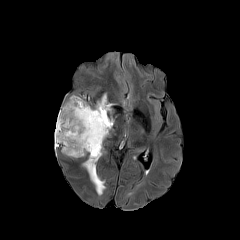
FLAIR magnetic resonance.
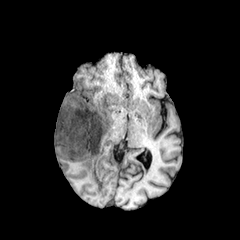
Same slice, T1-weighted MRI.
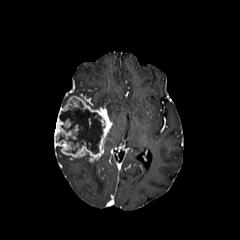
Post-contrast T1-weighted MRI of the same slice.
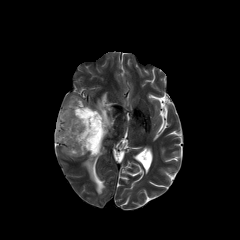
Same slice, T2-weighted MRI.
Brain
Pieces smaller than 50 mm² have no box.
necrotic_tumor_core:
  - l=60, t=108, r=102, b=153
enhancing_tumor:
  - l=54, t=95, r=112, b=162
peritumoral_edema:
  - l=82, t=157, r=105, b=195
  - l=92, t=93, r=112, b=113